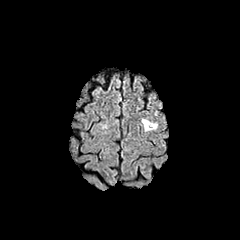
FLAIR magnetic resonance.
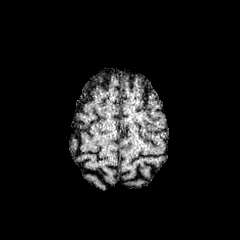
T1-weighted magnetic resonance.
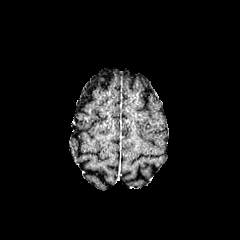
Post-contrast T1-weighted MR image.
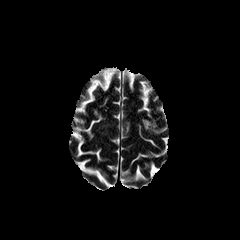
T2-weighted MRI.
Brain | 240x240
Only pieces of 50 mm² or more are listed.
* peritumoral edema: 142:119:157:130